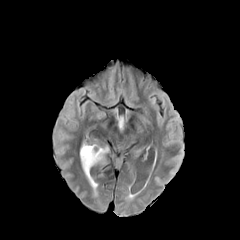
FLAIR MR image.
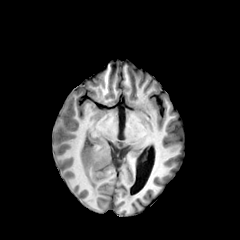
Same slice, T1-weighted MR.
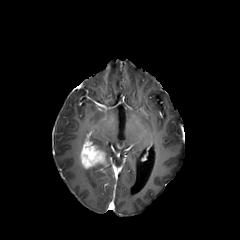
Post-contrast T1-weighted MR image.
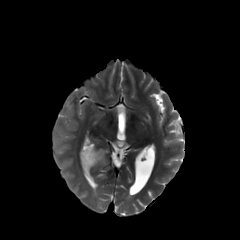
T2-weighted magnetic resonance.
Brain
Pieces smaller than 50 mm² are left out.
The largest peritumoral edema region is bounded by 83:168:97:192. The largest enhancing tumor region lies within 80:140:107:168.